Image size 240x240. Brain. Slice 69/155.
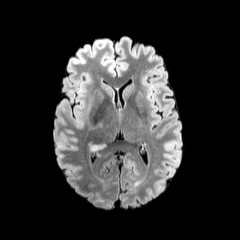
FLAIR magnetic resonance.
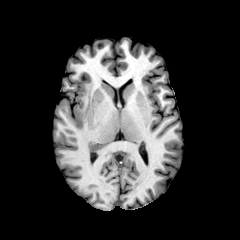
T1-weighted MRI.
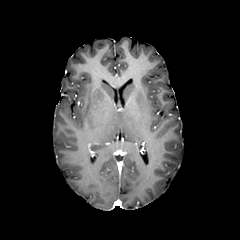
Same slice, post-contrast T1-weighted MRI.
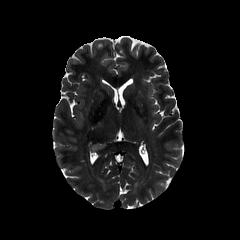
Same slice, T2-weighted MRI.
The peritumoral edema is at region(88, 143, 105, 150).